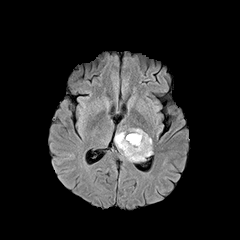
FLAIR MR image.
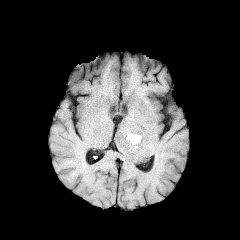
T1-weighted MR.
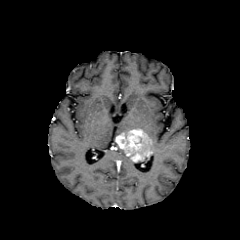
Post-contrast T1-weighted MR image of the same slice.
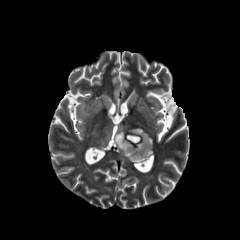
T2-weighted MR image.
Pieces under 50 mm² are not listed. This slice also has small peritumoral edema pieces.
{
  "enhancing_tumor": [
    "[115,129,152,162]"
  ]
}